Brain, Axial slice, Image size 240x240
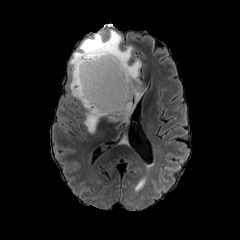
FLAIR MR.
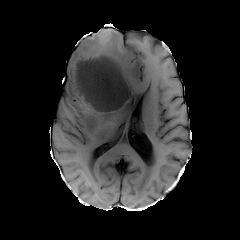
Same slice, T1-weighted MR image.
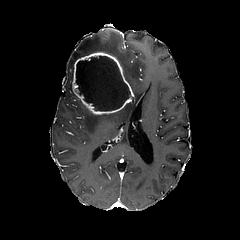
Same slice, post-contrast T1-weighted MR image.
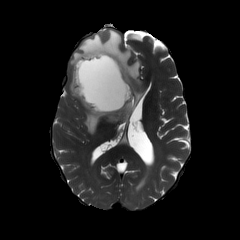
Same slice, T2-weighted MRI.
necrotic tumor core: [76,56,130,111] | peritumoral edema: [69,29,143,132] | enhancing tumor: [72,51,133,114]